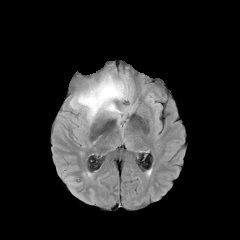
FLAIR MR.
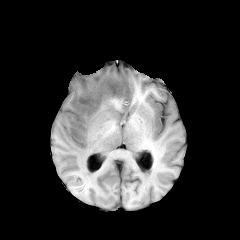
T1-weighted MR.
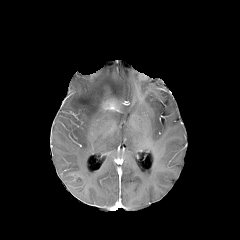
Post-contrast T1-weighted MRI.
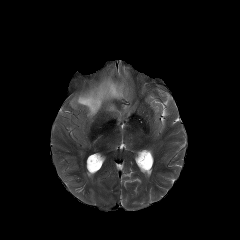
T2-weighted magnetic resonance of the same slice.
Head. 240x240. Axial view.
{"enhancing_tumor": ["103, 100, 117, 110"], "peritumoral_edema": ["69, 64, 130, 123"]}